Head | Image covers 240 mm x 240 mm
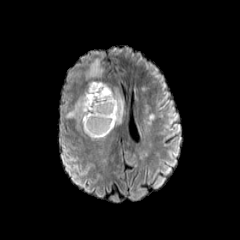
FLAIR MR image.
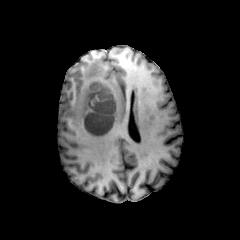
T1-weighted MRI.
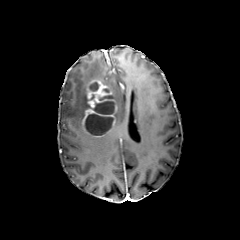
Post-contrast T1-weighted MR.
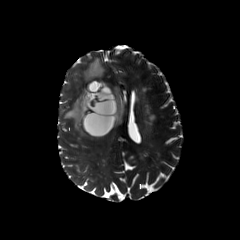
Same slice, T2-weighted MR image.
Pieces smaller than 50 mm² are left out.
{
  "enhancing_tumor": [
    "82,80,117,137"
  ],
  "peritumoral_edema": [
    "84,58,125,126",
    "65,87,86,132"
  ],
  "necrotic_tumor_core": [
    "93,101,114,114",
    "90,82,98,91",
    "85,114,113,135"
  ]
}